FLAIR MR image.
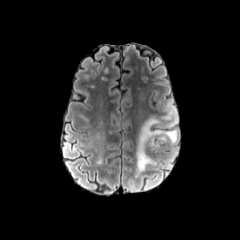
T1-weighted magnetic resonance.
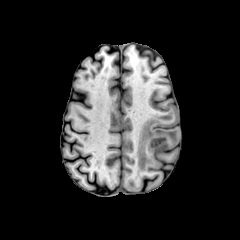
Post-contrast T1-weighted MRI.
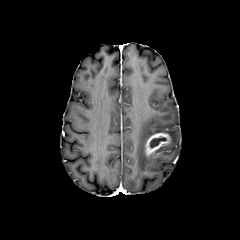
T2-weighted MR.
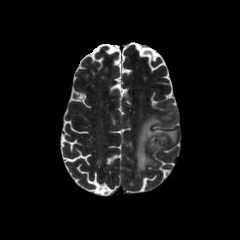
Axial slice; Head
{"peritumoral_edema": ["170,149,177,160", "136,101,178,171"], "enhancing_tumor": ["145,132,170,156"], "necrotic_tumor_core": ["150,137,166,147"]}